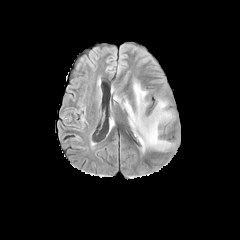
FLAIR MRI.
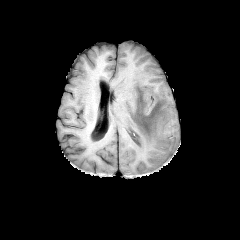
T1-weighted MR image of the same slice.
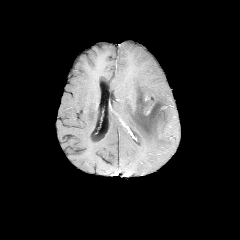
Post-contrast T1-weighted MRI of the same slice.
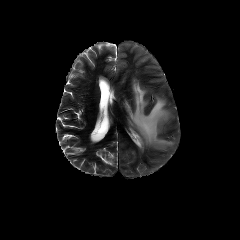
T2-weighted MR image of the same slice.
240x240
The peritumoral edema appears at <box>123,80,173,151</box>.